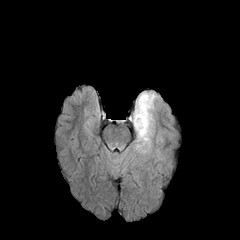
FLAIR magnetic resonance.
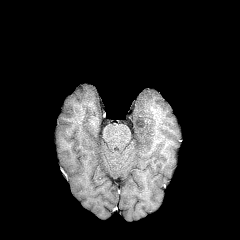
T1-weighted MRI.
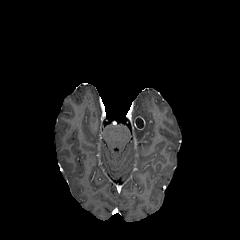
Same slice, post-contrast T1-weighted MR image.
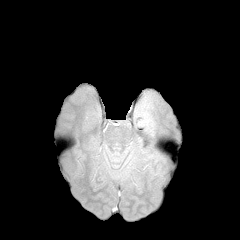
Same slice, T2-weighted MRI.
Axial plane | Head | 240x240 px
The enhancing tumor appears at <box>134,116,145,129</box>. The necrotic tumor core is at <box>135,117,143,128</box>. The peritumoral edema is at <box>132,92,158,153</box>.